FLAIR magnetic resonance.
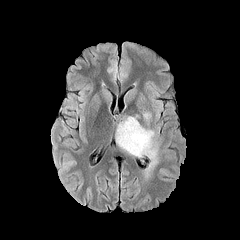
T1-weighted MRI.
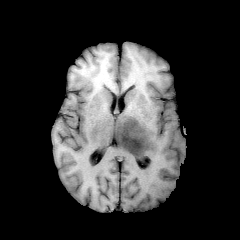
Post-contrast T1-weighted MR.
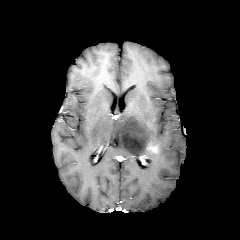
T2-weighted magnetic resonance.
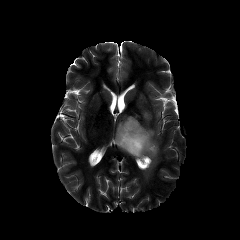
Axial plane; Brain
- peritumoral edema: bbox(143, 112, 151, 120); bbox(115, 115, 158, 175)
- enhancing tumor: bbox(146, 142, 158, 152)